Head | Axial plane
FLAIR magnetic resonance.
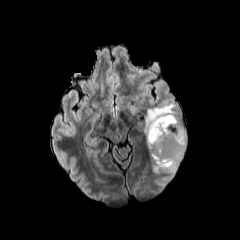
T1-weighted MR.
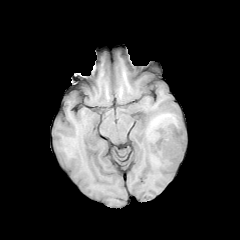
Post-contrast T1-weighted MR image.
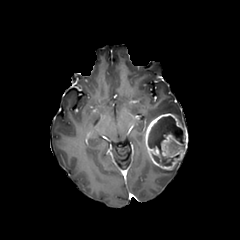
T2-weighted magnetic resonance.
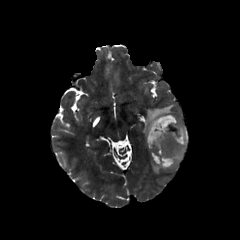
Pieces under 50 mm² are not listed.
The largest enhancing tumor region is at (x1=144, y1=113, x2=187, y2=170). The 2 largest peritumoral edema regions appear at (x1=152, y1=160, x2=181, y2=173), (x1=144, y1=103, x2=181, y2=131). The largest necrotic tumor core region is located at (x1=148, y1=116, x2=184, y2=165).